Brain. Image size 240x240.
FLAIR MRI.
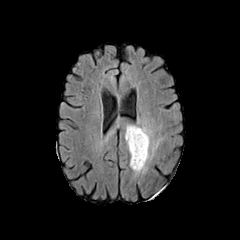
T1-weighted MR.
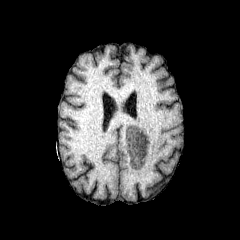
Post-contrast T1-weighted magnetic resonance.
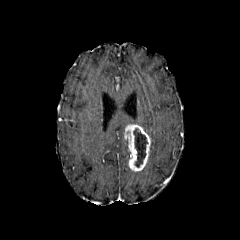
T2-weighted magnetic resonance.
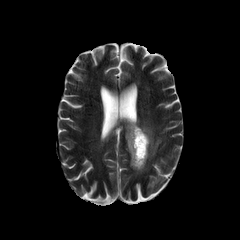
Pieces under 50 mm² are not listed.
peritumoral edema — <bbox>134, 121, 161, 174</bbox>
enhancing tumor — <bbox>125, 124, 150, 171</bbox>
necrotic tumor core — <bbox>133, 129, 147, 167</bbox>